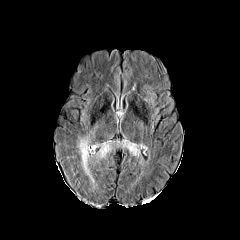
FLAIR MR image.
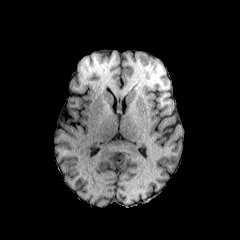
Same slice, T1-weighted MRI.
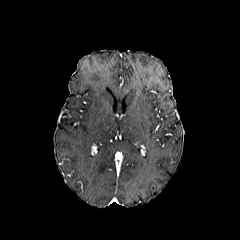
Post-contrast T1-weighted magnetic resonance.
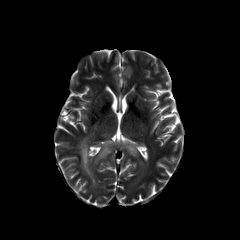
T2-weighted MRI of the same slice.
Axial slice, Head
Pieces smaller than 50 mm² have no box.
peritumoral edema = bbox=[97, 142, 111, 158]; bbox=[78, 125, 97, 177]; bbox=[121, 140, 139, 155]